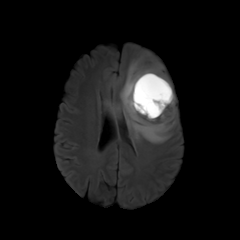
FLAIR MRI.
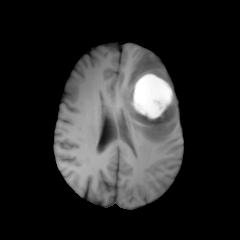
T1-weighted magnetic resonance of the same slice.
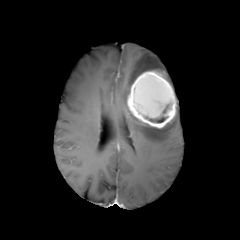
Post-contrast T1-weighted magnetic resonance.
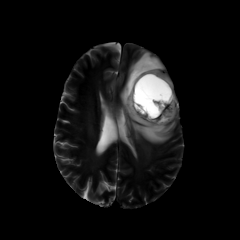
T2-weighted magnetic resonance.
Head
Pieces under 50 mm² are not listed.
Annotated regions:
* enhancing tumor: 127, 71, 176, 128
* necrotic tumor core: 146, 116, 168, 122
* peritumoral edema: 120, 50, 176, 143